Head | Slice index 56
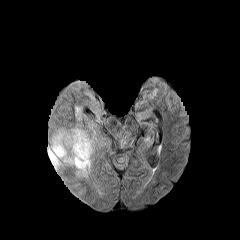
FLAIR MR image.
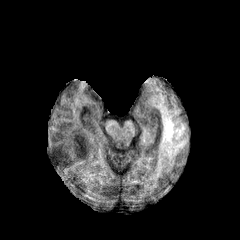
Same slice, T1-weighted MR.
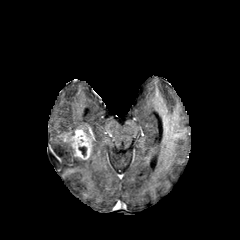
Post-contrast T1-weighted magnetic resonance.
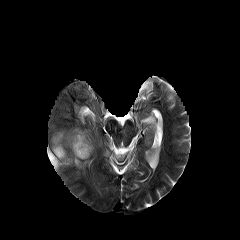
T2-weighted MR image.
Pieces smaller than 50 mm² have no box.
necrotic_tumor_core:
  - {"x1": 79, "y1": 146, "x2": 86, "y2": 156}
peritumoral_edema:
  - {"x1": 48, "y1": 129, "x2": 90, "y2": 173}
enhancing_tumor:
  - {"x1": 58, "y1": 129, "x2": 91, "y2": 159}